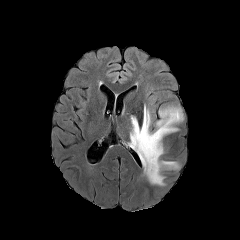
FLAIR MR.
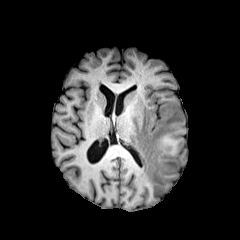
T1-weighted MR image of the same slice.
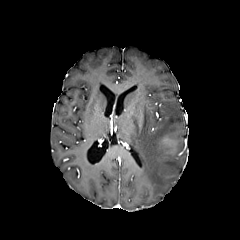
Post-contrast T1-weighted MR.
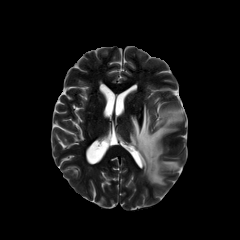
T2-weighted MR of the same slice.
240x240, Axial view
The peritumoral edema lies within l=129, t=105, r=183, b=185.